Image width 240 mm, 1.00 mm slice spacing, Brain, Axial slice, Slice 60/155
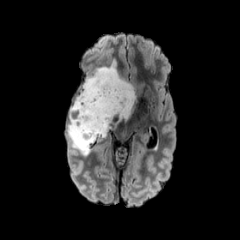
FLAIR magnetic resonance.
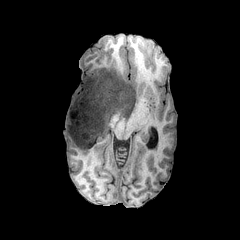
T1-weighted MR.
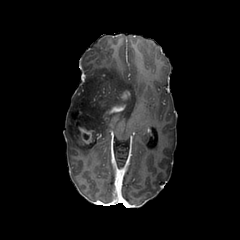
Same slice, post-contrast T1-weighted MR image.
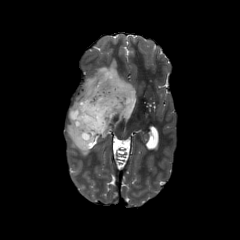
T2-weighted magnetic resonance of the same slice.
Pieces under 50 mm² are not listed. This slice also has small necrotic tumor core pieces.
{"peritumoral_edema": ["[x1=70, y1=59, x2=136, y2=137]", "[x1=67, y1=118, x2=93, y2=156]"], "enhancing_tumor": ["[x1=69, y1=108, x2=99, y2=143]", "[x1=121, y1=91, x2=130, y2=99]", "[x1=109, y1=105, x2=125, y2=113]"]}